240x240; Axial slice
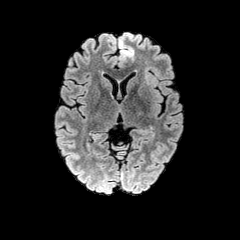
FLAIR MR image.
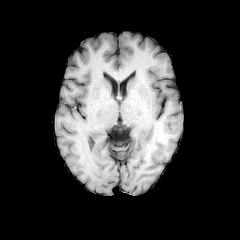
T1-weighted MRI of the same slice.
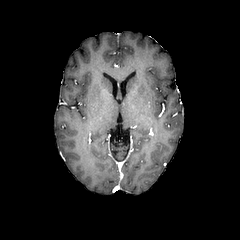
Post-contrast T1-weighted MR of the same slice.
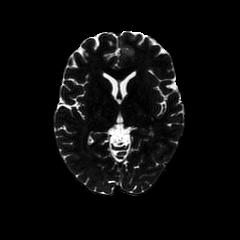
Same slice, T2-weighted MR.
<segmentation>
  <peritumoral_edema>x1=118 y1=32 x2=134 y2=60</peritumoral_edema>
</segmentation>